FLAIR MRI.
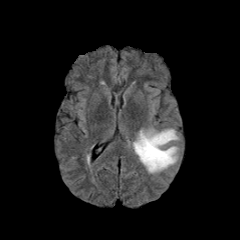
T1-weighted magnetic resonance.
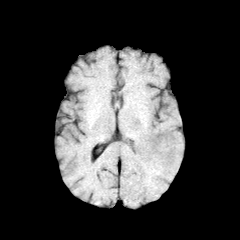
Post-contrast T1-weighted magnetic resonance.
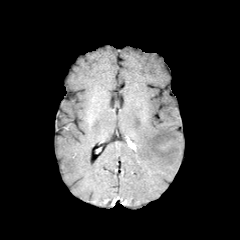
T2-weighted MR.
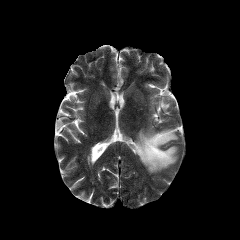
Axial plane; 240x240
{"peritumoral_edema": ["(x1=134, y1=128, x2=178, y2=173)"]}